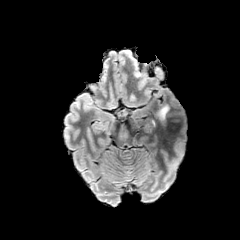
FLAIR MR.
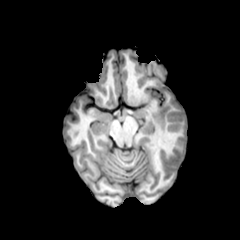
T1-weighted magnetic resonance.
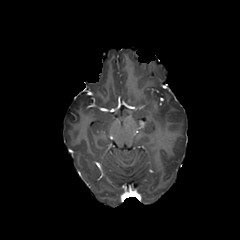
Post-contrast T1-weighted MRI of the same slice.
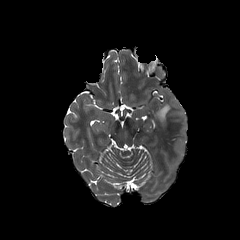
T2-weighted MR.
Axial view.
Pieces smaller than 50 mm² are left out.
Segmented structures:
* peritumoral edema: box=[156, 105, 169, 125]